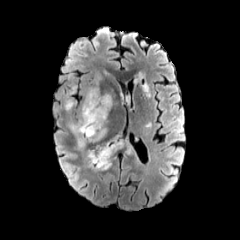
FLAIR MRI.
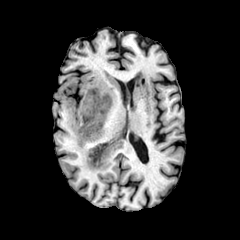
T1-weighted MR.
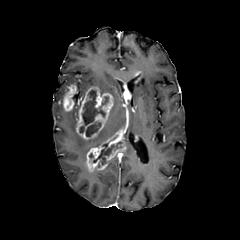
Same slice, post-contrast T1-weighted MRI.
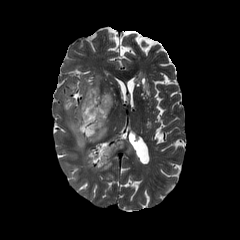
T2-weighted MRI of the same slice.
Brain.
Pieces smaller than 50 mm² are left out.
The 3 largest necrotic tumor core regions are located at {"x1": 80, "y1": 90, "x2": 105, "y2": 132}, {"x1": 93, "y1": 142, "x2": 120, "y2": 164}, {"x1": 85, "y1": 122, "x2": 100, "y2": 136}. The 3 largest peritumoral edema regions are located at {"x1": 68, "y1": 122, "x2": 106, "y2": 149}, {"x1": 138, "y1": 75, "x2": 148, "y2": 91}, {"x1": 119, "y1": 138, "x2": 132, "y2": 154}. The 4 largest enhancing tumor regions are bounded by {"x1": 105, "y1": 149, "x2": 118, "y2": 161}, {"x1": 63, "y1": 84, "x2": 76, "y2": 111}, {"x1": 85, "y1": 129, "x2": 123, "y2": 171}, {"x1": 76, "y1": 86, "x2": 113, "y2": 140}.